240x240 px, Image width 240 mm, 1.00 mm slice spacing, Head
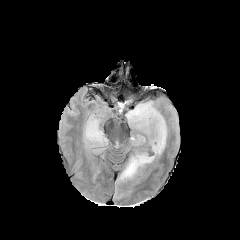
FLAIR MR image.
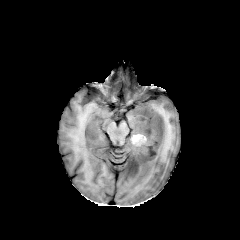
Same slice, T1-weighted MR.
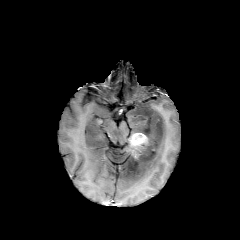
Post-contrast T1-weighted magnetic resonance of the same slice.
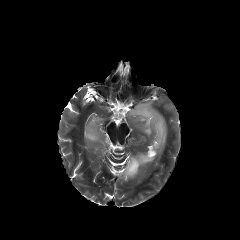
T2-weighted MR image.
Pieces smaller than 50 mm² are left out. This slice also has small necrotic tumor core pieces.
{
  "enhancing_tumor": [
    "bbox(129, 133, 147, 148)"
  ],
  "peritumoral_edema": [
    "bbox(83, 115, 108, 153)",
    "bbox(117, 101, 167, 182)"
  ]
}